Head | 240x240
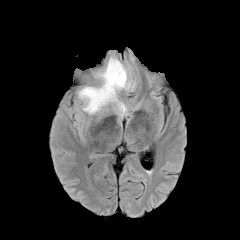
FLAIR MR.
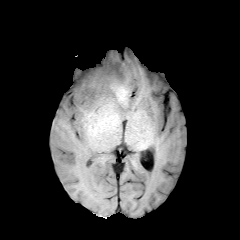
Same slice, T1-weighted MR image.
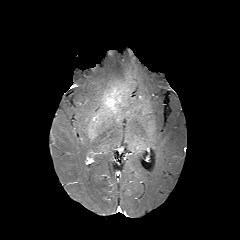
Post-contrast T1-weighted MR.
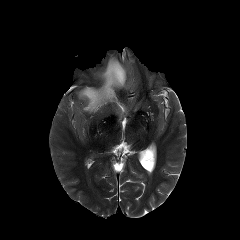
T2-weighted MR.
{"enhancing_tumor": ["region(106, 93, 114, 105)"], "peritumoral_edema": ["region(78, 57, 133, 118)"]}